Head, Axial view, Slice index 90
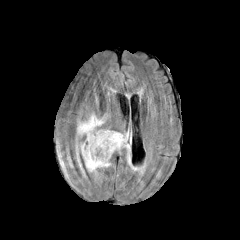
FLAIR MR image.
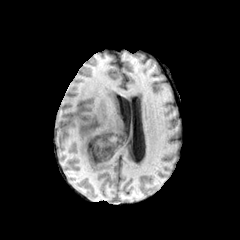
Same slice, T1-weighted MR.
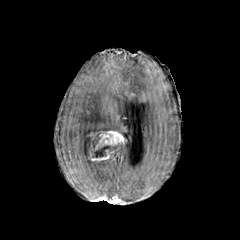
Post-contrast T1-weighted MR.
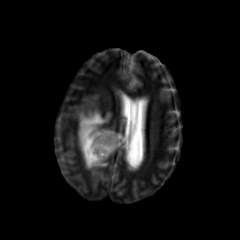
T2-weighted magnetic resonance.
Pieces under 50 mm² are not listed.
The 2 largest peritumoral edema regions are bounded by rect(113, 134, 130, 163); rect(77, 113, 109, 171). The largest necrotic tumor core region is bounded by rect(93, 145, 113, 157). 2 enhancing tumor regions are bounded by rect(89, 144, 114, 161); rect(95, 131, 126, 150).